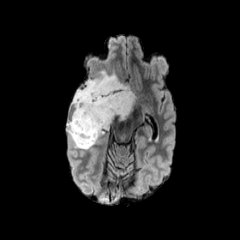
FLAIR MR.
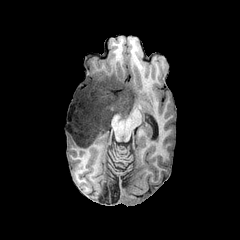
T1-weighted MR of the same slice.
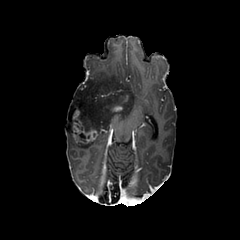
Post-contrast T1-weighted magnetic resonance.
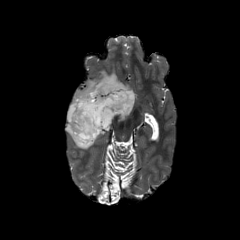
T2-weighted magnetic resonance.
240x240 px, Head
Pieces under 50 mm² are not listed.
enhancing tumor = 69:106:97:144
necrotic tumor core = 78:133:86:142
peritumoral edema = 66:70:135:149